FLAIR MRI.
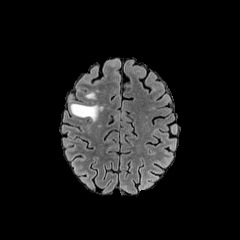
T1-weighted magnetic resonance.
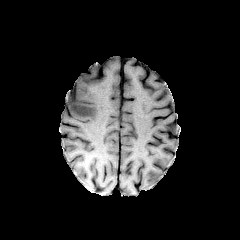
Post-contrast T1-weighted magnetic resonance.
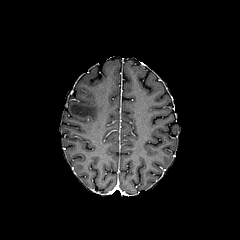
T2-weighted MR.
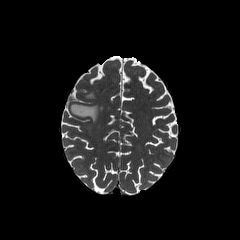
240x240 px; Axial plane
{"peritumoral_edema": ["box(86, 92, 95, 98)", "box(70, 103, 102, 121)"]}